Axial view; Brain
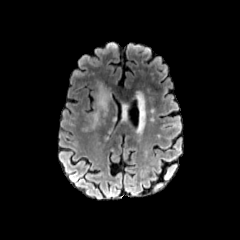
FLAIR magnetic resonance.
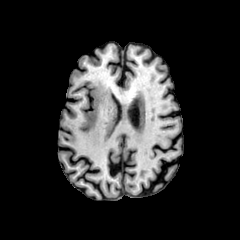
T1-weighted magnetic resonance of the same slice.
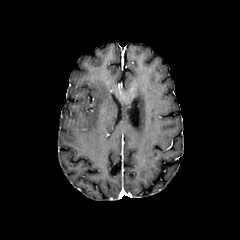
Post-contrast T1-weighted MR.
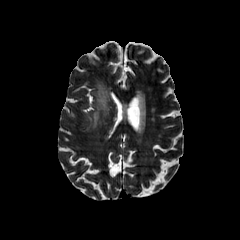
T2-weighted MR image of the same slice.
{"peritumoral_edema": ["x1=91, y1=82, x2=110, y2=127"]}